240x240 px | Slice 55 of 155
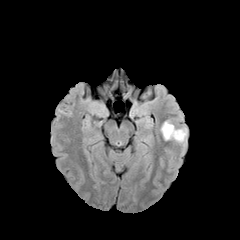
FLAIR MR.
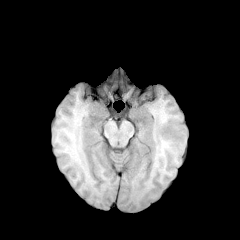
T1-weighted MRI.
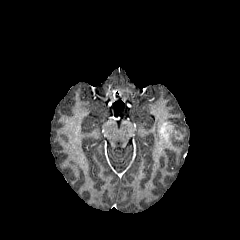
Post-contrast T1-weighted magnetic resonance.
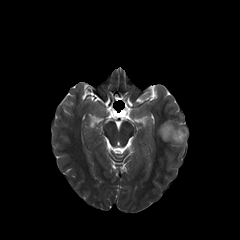
T2-weighted MRI of the same slice.
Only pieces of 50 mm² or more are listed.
<segmentation>
  <enhancing_tumor>left=160, top=122, right=173, bottom=140</enhancing_tumor>
  <peritumoral_edema>left=165, top=120, right=187, bottom=145</peritumoral_edema>
</segmentation>